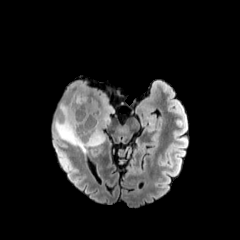
FLAIR MR.
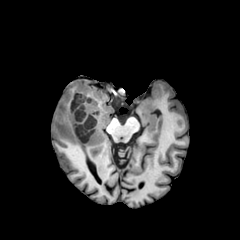
Same slice, T1-weighted MR.
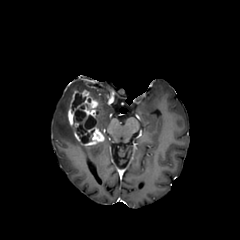
Same slice, post-contrast T1-weighted MR image.
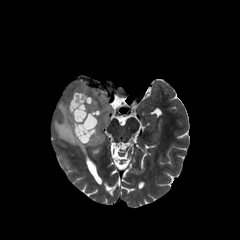
T2-weighted magnetic resonance.
Axial view
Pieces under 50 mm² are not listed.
<segmentation>
  <enhancing_tumor>bbox=[68, 90, 104, 145]</enhancing_tumor>
  <necrotic_tumor_core>bbox=[75, 110, 85, 121]; bbox=[77, 116, 96, 134]; bbox=[80, 134, 89, 142]; bbox=[72, 93, 84, 109]</necrotic_tumor_core>
  <peritumoral_edema>bbox=[75, 81, 113, 133]; bbox=[54, 101, 84, 151]</peritumoral_edema>
</segmentation>